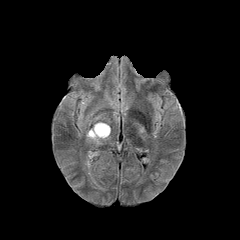
FLAIR MR.
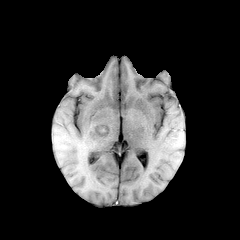
T1-weighted MR image.
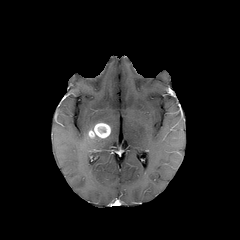
Post-contrast T1-weighted MR image.
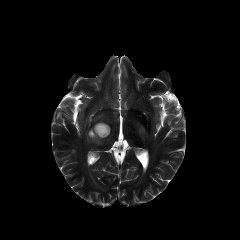
Same slice, T2-weighted MR.
Brain, Image size 240x240
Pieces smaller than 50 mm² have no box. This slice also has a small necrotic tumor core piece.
peritumoral edema: 87:131:104:143 | enhancing tumor: 88:123:110:138